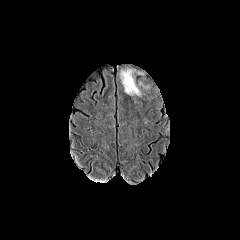
FLAIR magnetic resonance.
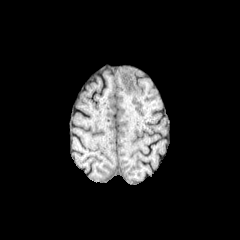
Same slice, T1-weighted MR.
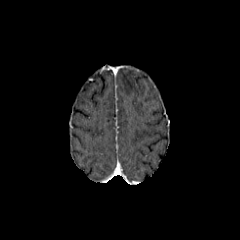
Post-contrast T1-weighted MR of the same slice.
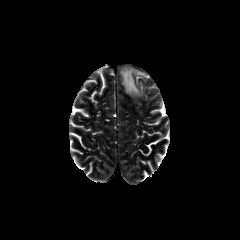
Same slice, T2-weighted MR.
Head
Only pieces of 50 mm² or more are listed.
{
  "peritumoral_edema": [
    "(120,69,141,95)"
  ]
}